Slice index 113 | Image width 240 mm, 1.00 mm slice spacing
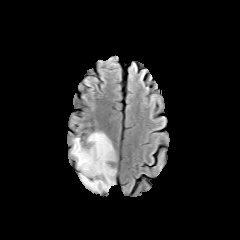
FLAIR MR.
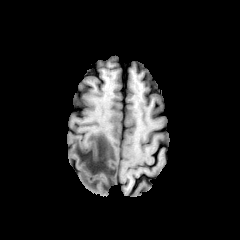
T1-weighted MR.
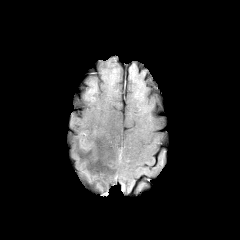
Post-contrast T1-weighted MRI of the same slice.
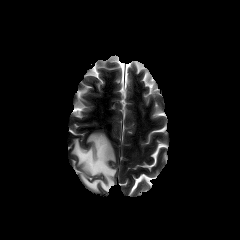
T2-weighted MR.
peritumoral edema: box(72, 132, 115, 190)